Slice index 102. 240x240 px.
FLAIR magnetic resonance.
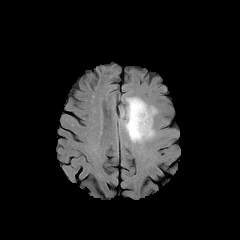
T1-weighted MRI.
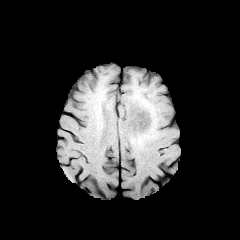
Post-contrast T1-weighted MR image.
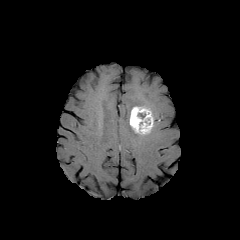
T2-weighted MR image.
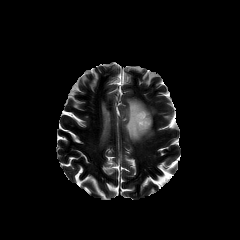
The enhancing tumor appears at (129,106,153,134). The peritumoral edema is at (120,97,156,142).